Brain | Slice index 91 | Image width 240 mm | Axial slice
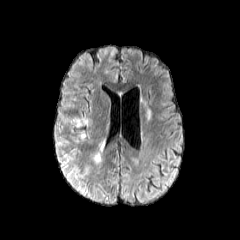
FLAIR magnetic resonance.
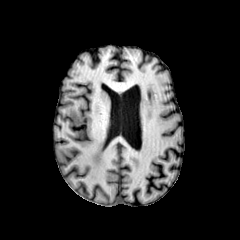
T1-weighted MRI.
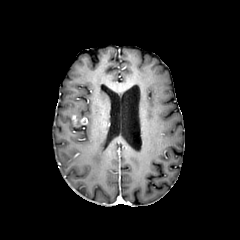
Same slice, post-contrast T1-weighted MR image.
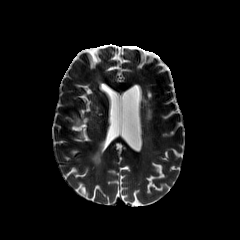
T2-weighted MRI.
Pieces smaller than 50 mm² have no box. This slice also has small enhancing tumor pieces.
• peritumoral edema: rect(93, 143, 103, 164)